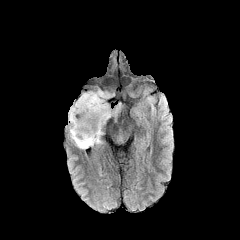
FLAIR MRI.
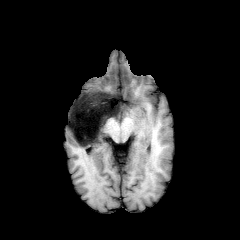
T1-weighted MR image of the same slice.
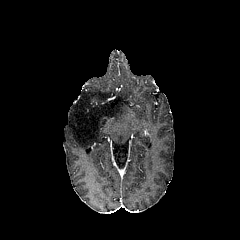
Post-contrast T1-weighted magnetic resonance.
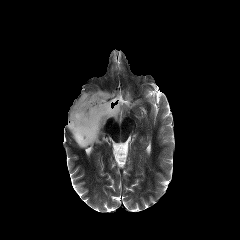
Same slice, T2-weighted MR image.
Head
<segmentation>
  <peritumoral_edema>(left=67, top=89, right=120, bottom=149)</peritumoral_edema>
</segmentation>